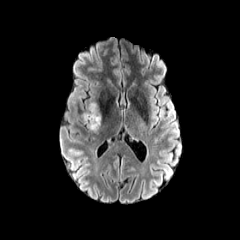
FLAIR MR.
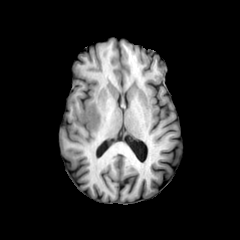
T1-weighted MRI of the same slice.
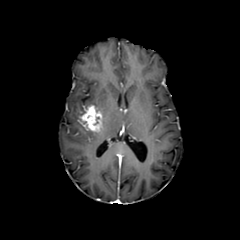
Post-contrast T1-weighted MR.
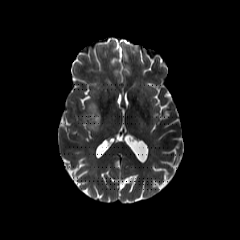
T2-weighted magnetic resonance.
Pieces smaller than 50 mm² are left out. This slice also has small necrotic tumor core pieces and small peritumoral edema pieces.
The enhancing tumor is bounded by bbox=[79, 105, 101, 132].